Head | Axial view
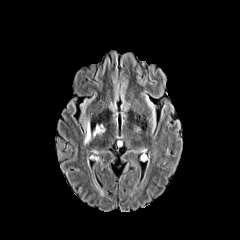
FLAIR MR image.
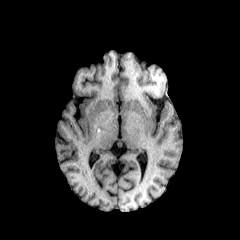
Same slice, T1-weighted magnetic resonance.
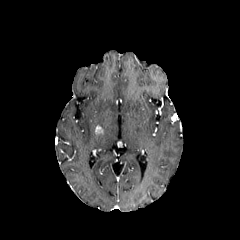
Post-contrast T1-weighted magnetic resonance.
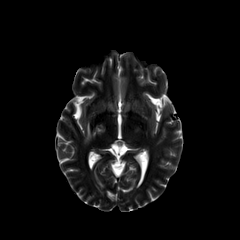
T2-weighted MR of the same slice.
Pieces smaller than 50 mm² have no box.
The largest peritumoral edema region is at (left=84, top=121, right=91, bottom=144). The enhancing tumor is bounded by (left=95, top=125, right=103, bottom=134).